Slice 61 of 155. Head.
FLAIR MR.
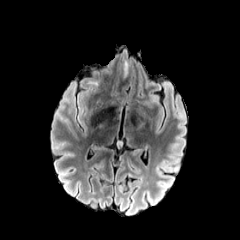
T1-weighted magnetic resonance.
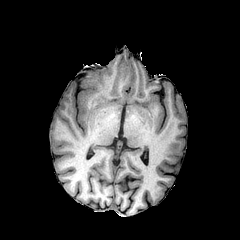
Post-contrast T1-weighted MRI.
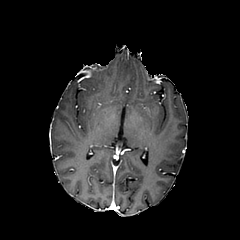
T2-weighted magnetic resonance.
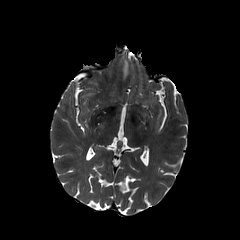
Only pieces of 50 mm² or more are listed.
peritumoral edema: bbox(122, 60, 129, 80)